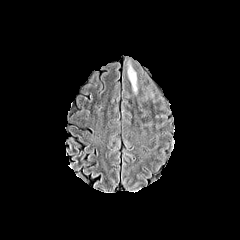
FLAIR magnetic resonance.
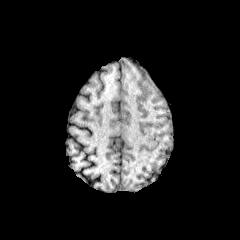
T1-weighted MRI.
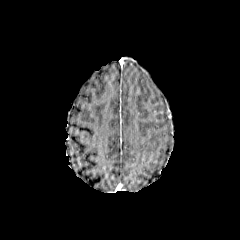
Post-contrast T1-weighted MR image.
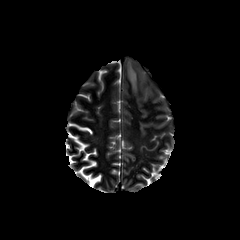
Same slice, T2-weighted MR image.
240x240 px. Head. Axial slice.
peritumoral edema: bounding box [127,60,137,94]